FLAIR MRI.
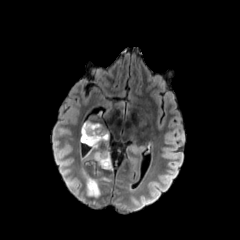
T1-weighted magnetic resonance.
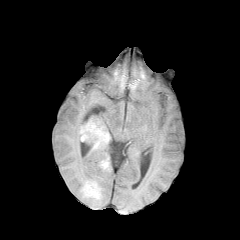
Post-contrast T1-weighted MRI.
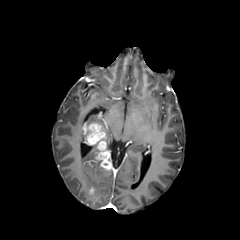
T2-weighted MRI.
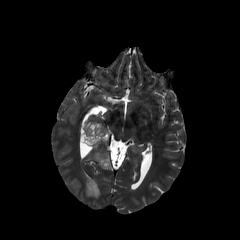
Head; Axial slice
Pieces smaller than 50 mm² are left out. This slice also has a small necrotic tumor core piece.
• enhancing tumor: left=82, top=123, right=112, bottom=170
• peritumoral edema: left=104, top=130, right=109, bottom=149; left=83, top=171, right=100, bottom=197